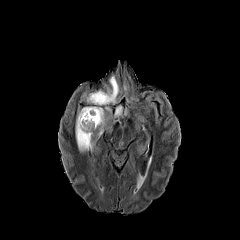
FLAIR magnetic resonance.
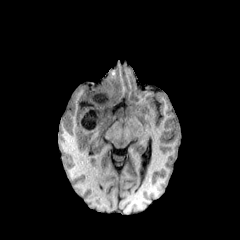
T1-weighted MRI of the same slice.
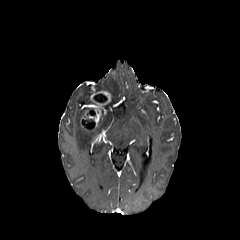
Post-contrast T1-weighted magnetic resonance of the same slice.
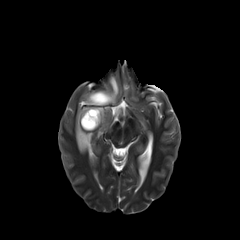
T2-weighted magnetic resonance.
Brain; Axial view
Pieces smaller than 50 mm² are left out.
necrotic tumor core at <bbox>93, 93, 107, 102</bbox>, <bbox>81, 119, 95, 130</bbox>, <bbox>87, 108, 95, 116</bbox>
peritumoral edema at <bbox>75, 107, 92, 151</bbox>, <bbox>107, 76, 118, 103</bbox>, <bbox>113, 105, 123, 118</bbox>, <bbox>98, 112, 104, 135</bbox>
enhancing tumor at <bbox>80, 91, 111, 127</bbox>